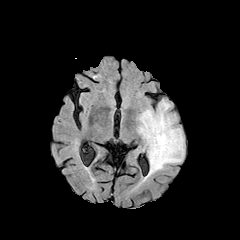
FLAIR magnetic resonance.
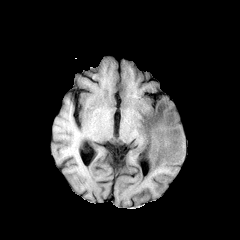
T1-weighted magnetic resonance of the same slice.
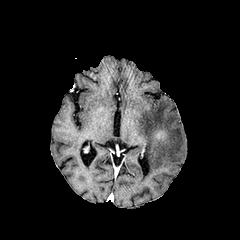
Same slice, post-contrast T1-weighted MR image.
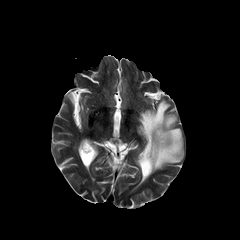
T2-weighted MRI.
Axial view. Image size 240x240.
peritumoral edema: 137 99 184 180
enhancing tumor: 155 130 167 140